240x240. Brain.
FLAIR magnetic resonance.
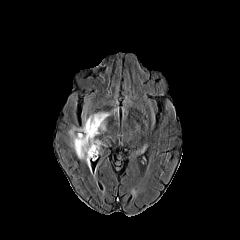
T1-weighted MRI.
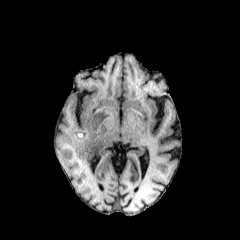
Post-contrast T1-weighted MR.
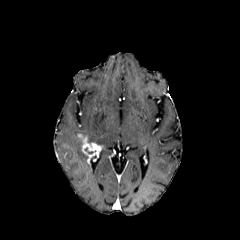
T2-weighted magnetic resonance.
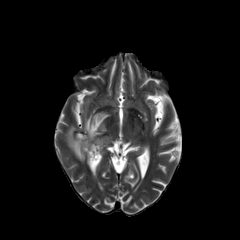
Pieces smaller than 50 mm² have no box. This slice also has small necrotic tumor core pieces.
peritumoral edema at x1=68 y1=112 x2=109 y2=162
enhancing tumor at x1=79 y1=136 x2=101 y2=164